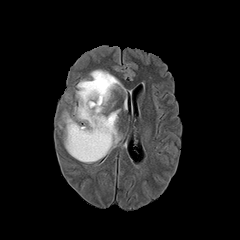
FLAIR MR.
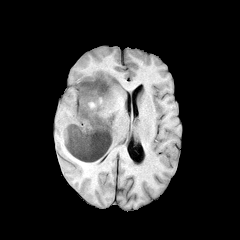
T1-weighted magnetic resonance.
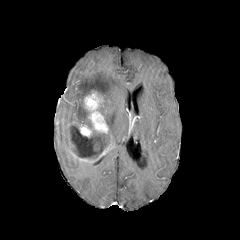
Same slice, post-contrast T1-weighted magnetic resonance.
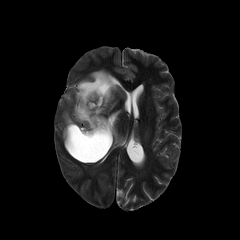
T2-weighted MRI.
Head
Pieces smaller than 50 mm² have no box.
necrotic tumor core: rect(72, 127, 97, 156) | enhancing tumor: rect(67, 90, 112, 162) | peritumoral edema: rect(63, 70, 123, 154)